Axial plane, 240x240 px
FLAIR MRI.
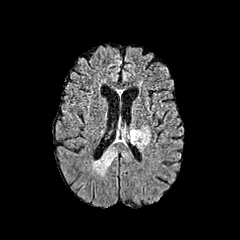
T1-weighted magnetic resonance.
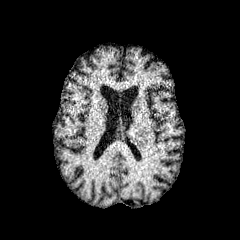
Post-contrast T1-weighted MRI.
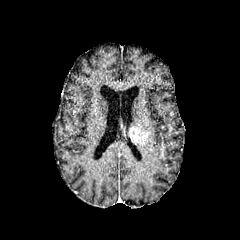
T2-weighted MR.
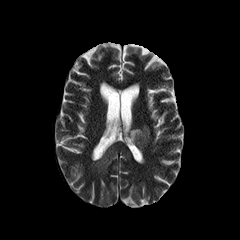
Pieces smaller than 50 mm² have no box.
<segmentation>
  <peritumoral_edema>{"x1": 135, "y1": 126, "x2": 150, "y2": 149}, {"x1": 93, "y1": 149, "x2": 116, "y2": 173}</peritumoral_edema>
  <enhancing_tumor>{"x1": 129, "y1": 127, "x2": 148, "y2": 144}</enhancing_tumor>
</segmentation>